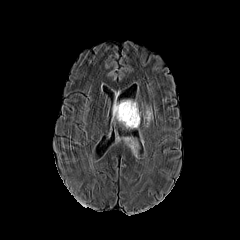
FLAIR MR image.
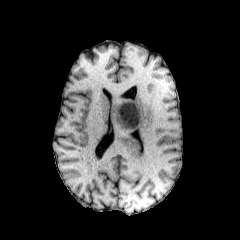
T1-weighted MR.
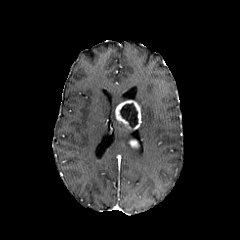
Post-contrast T1-weighted MR.
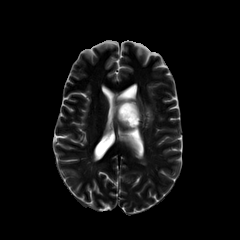
T2-weighted MR.
Head
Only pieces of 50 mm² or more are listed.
necrotic tumor core: bounding box bbox(120, 103, 137, 127)
peritumoral edema: bounding box bbox(112, 100, 119, 119); bbox(144, 106, 152, 126)
enhancing tumor: bounding box bbox(129, 139, 138, 148); bbox(115, 100, 141, 129)